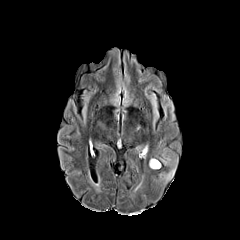
FLAIR MR image.
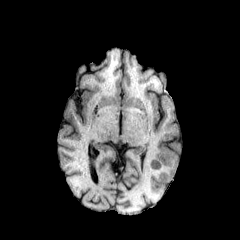
T1-weighted magnetic resonance.
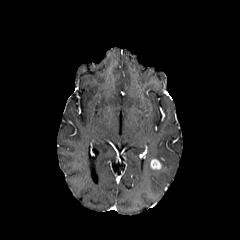
Post-contrast T1-weighted MRI of the same slice.
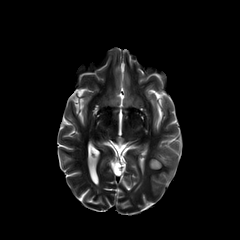
T2-weighted MR image of the same slice.
Brain. Axial view.
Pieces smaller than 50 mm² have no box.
peritumoral_edema:
  - bbox(164, 167, 175, 180)
enhancing_tumor:
  - bbox(150, 159, 161, 169)